FLAIR MR.
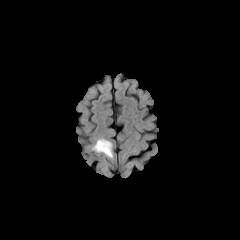
T1-weighted MR image.
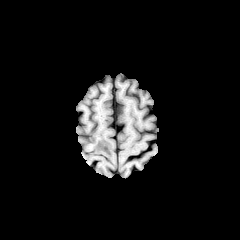
Post-contrast T1-weighted magnetic resonance.
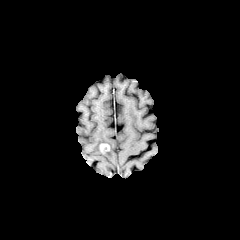
T2-weighted MR.
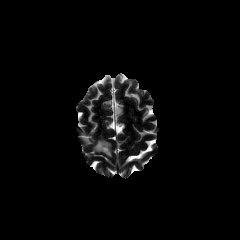
Axial slice. Brain.
enhancing_tumor:
  - (left=99, top=143, right=109, bottom=151)
peritumoral_edema:
  - (left=92, top=138, right=112, bottom=158)